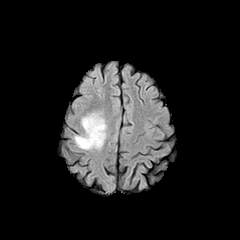
FLAIR MRI.
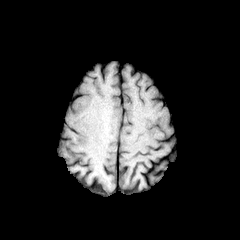
T1-weighted MR image.
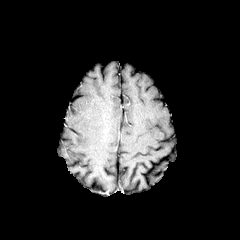
Post-contrast T1-weighted MR image.
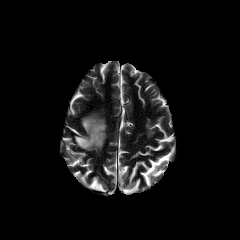
T2-weighted MRI.
Head.
<segmentation>
  <peritumoral_edema>74 113 106 149</peritumoral_edema>
</segmentation>